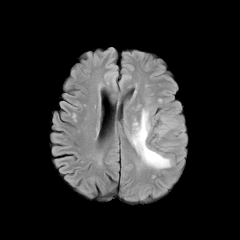
FLAIR MRI.
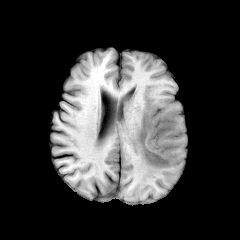
Same slice, T1-weighted MR.
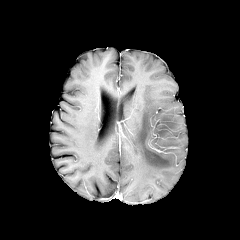
Same slice, post-contrast T1-weighted MR.
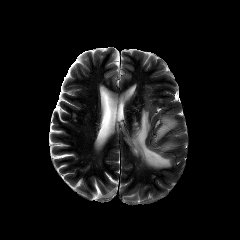
Same slice, T2-weighted MR.
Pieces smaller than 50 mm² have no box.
peritumoral edema: (x1=157, y1=117, x2=176, y2=136), (x1=129, y1=109, x2=171, y2=169)